Image width 240 mm. Axial slice. Brain. Slice index 90.
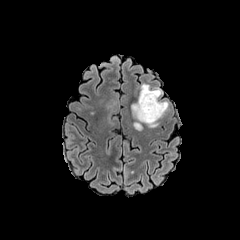
FLAIR MR.
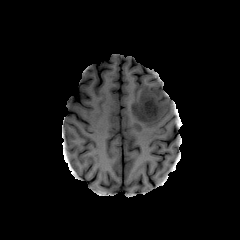
T1-weighted MR.
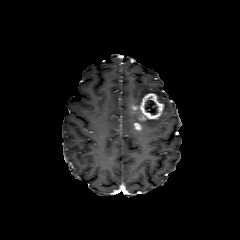
Post-contrast T1-weighted MRI.
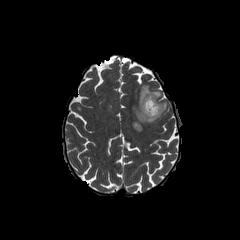
T2-weighted magnetic resonance.
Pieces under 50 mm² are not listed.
peritumoral edema at bbox=[131, 84, 161, 109]; bbox=[132, 101, 168, 130]
necrotic tumor core at bbox=[145, 99, 157, 114]
enhancing tumor at bbox=[132, 93, 163, 121]